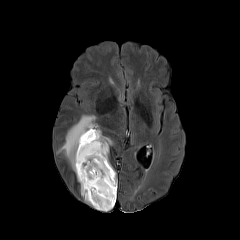
FLAIR magnetic resonance.
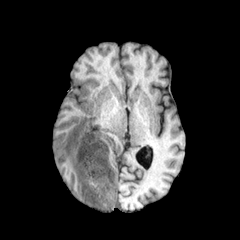
T1-weighted MRI.
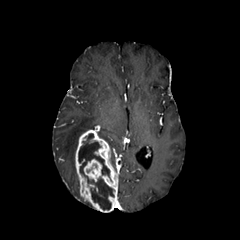
Same slice, post-contrast T1-weighted MR.
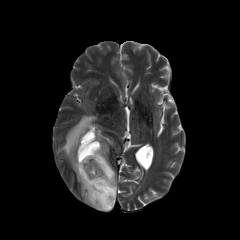
T2-weighted magnetic resonance.
Head; 240x240
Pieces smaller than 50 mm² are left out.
- peritumoral edema: 57, 115, 96, 174; 98, 130, 112, 145
- enhancing tumor: 75, 129, 117, 212
- necrotic tumor core: 78, 133, 114, 209